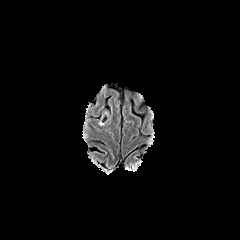
FLAIR MR image.
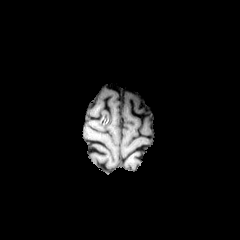
Same slice, T1-weighted MR.
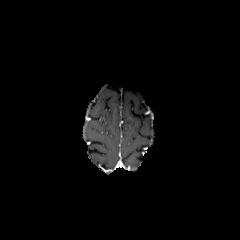
Post-contrast T1-weighted magnetic resonance.
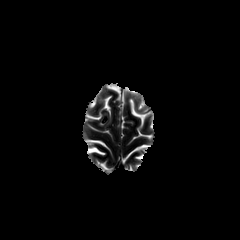
T2-weighted MR.
Axial view. Brain. Image size 240x240.
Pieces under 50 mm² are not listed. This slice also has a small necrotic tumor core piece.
<segmentation>
  <peritumoral_edema>100 113 107 124</peritumoral_edema>
</segmentation>